FLAIR MR.
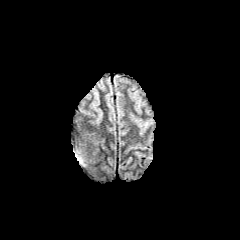
T1-weighted MRI.
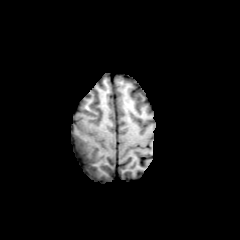
Post-contrast T1-weighted magnetic resonance.
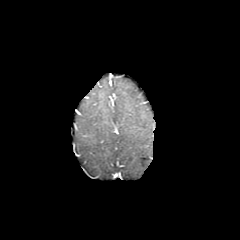
T2-weighted magnetic resonance.
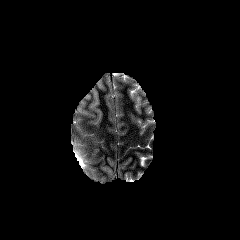
Axial plane. Image size 240x240.
<segmentation>
  <peritumoral_edema>x1=75 y1=150 x2=85 y2=166</peritumoral_edema>
</segmentation>